FLAIR MR.
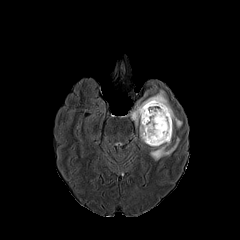
T1-weighted magnetic resonance.
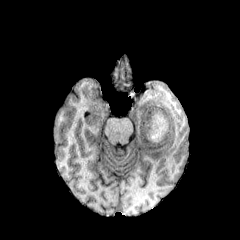
Post-contrast T1-weighted MR image.
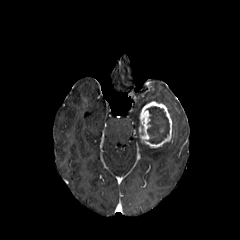
T2-weighted MRI.
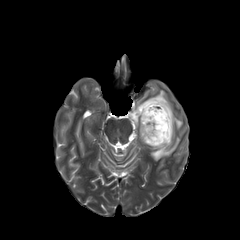
Axial plane, Head
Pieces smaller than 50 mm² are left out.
necrotic tumor core at <box>147,106,169,143</box>
peritumoral edema at <box>131,81,183,160</box>
enhancing tumor at <box>139,101,172,148</box>